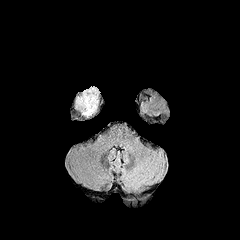
FLAIR MR.
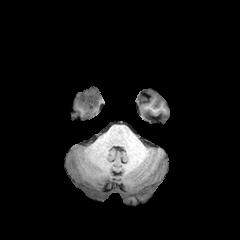
T1-weighted MR.
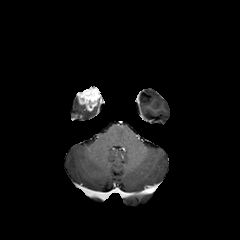
Same slice, post-contrast T1-weighted MR.
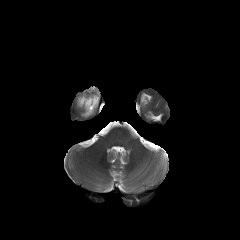
T2-weighted MRI of the same slice.
Head, Axial plane
The peritumoral edema lies within left=76, top=98, right=96, bottom=116. The enhancing tumor is at left=77, top=86, right=100, bottom=111.